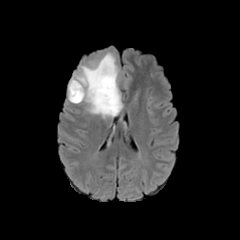
FLAIR MR.
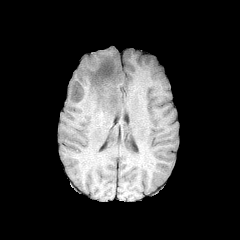
T1-weighted MR image.
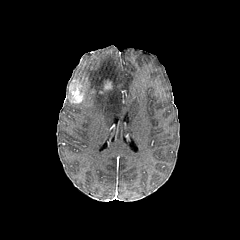
Post-contrast T1-weighted MR.
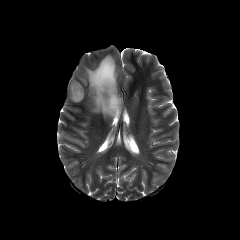
T2-weighted MR image.
Axial view, 240x240, Brain
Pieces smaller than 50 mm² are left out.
2 enhancing tumor regions appear at rect(69, 79, 84, 102); rect(104, 81, 111, 89). The largest peritumoral edema region is bounded by rect(75, 54, 122, 117).